Head | Axial view
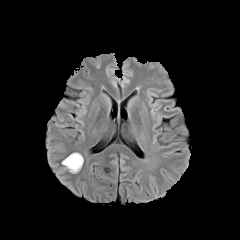
FLAIR magnetic resonance.
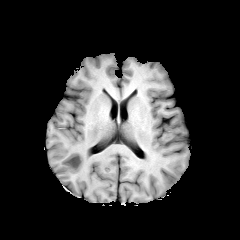
Same slice, T1-weighted MR image.
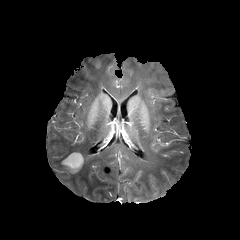
Post-contrast T1-weighted MRI of the same slice.
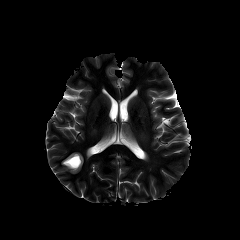
Same slice, T2-weighted magnetic resonance.
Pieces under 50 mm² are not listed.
The largest peritumoral edema region appears at rect(63, 165, 80, 173). The enhancing tumor is at rect(62, 153, 83, 171).